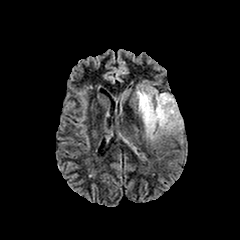
FLAIR magnetic resonance.
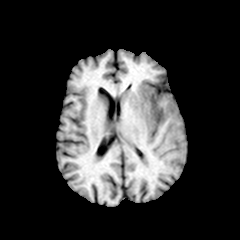
T1-weighted MR image.
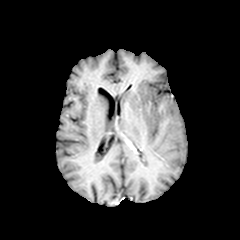
Post-contrast T1-weighted magnetic resonance of the same slice.
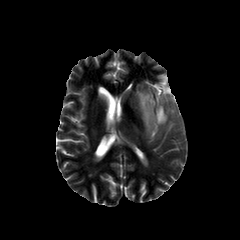
T2-weighted magnetic resonance of the same slice.
240x240. Axial view. Head.
peritumoral edema: 136 84 182 140
enhancing tumor: 156 106 164 121